FLAIR MR image.
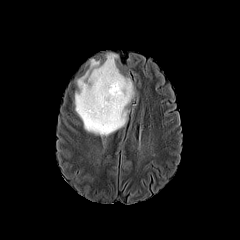
T1-weighted magnetic resonance.
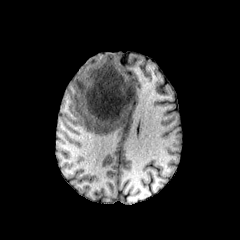
Post-contrast T1-weighted MRI.
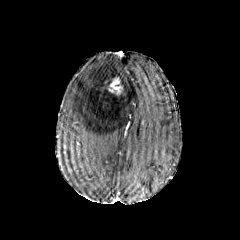
T2-weighted MR.
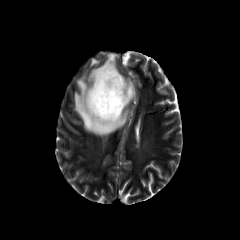
Head; 240x240 px; Axial slice
{"peritumoral_edema": ["74, 53, 135, 136"], "enhancing_tumor": ["108, 77, 122, 94"], "necrotic_tumor_core": ["111, 77, 123, 100", "104, 75, 118, 92"]}